Brain. Image size 240x240. Axial slice. Slice index 40.
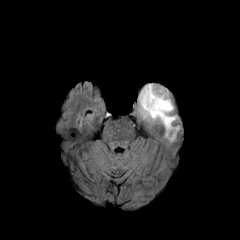
FLAIR magnetic resonance.
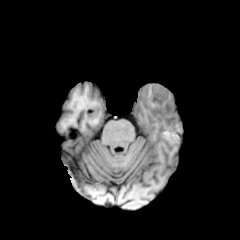
T1-weighted MRI.
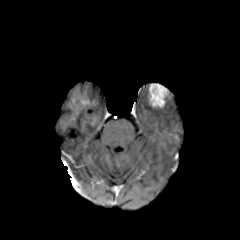
Post-contrast T1-weighted MR of the same slice.
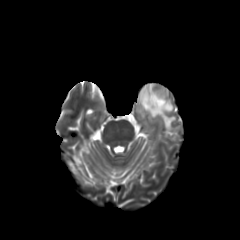
T2-weighted MR image of the same slice.
<segmentation>
  <peritumoral_edema>x1=133, y1=84, x2=176, y2=129</peritumoral_edema>
  <enhancing_tumor>x1=148, y1=83, x2=169, y2=107</enhancing_tumor>
</segmentation>